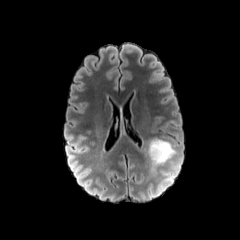
FLAIR MR.
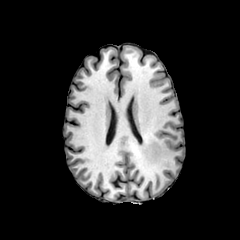
Same slice, T1-weighted MR image.
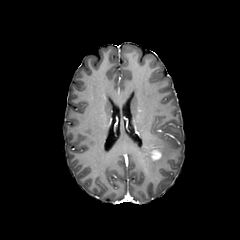
Post-contrast T1-weighted MR.
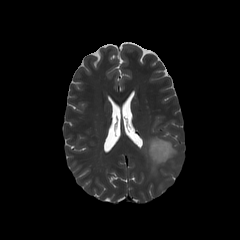
Same slice, T2-weighted MR image.
Head | 240x240
Segmented structures:
• peritumoral edema: l=148, t=138, r=176, b=169
• enhancing tumor: l=150, t=149, r=161, b=159